FLAIR MR.
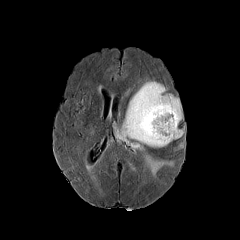
T1-weighted MR.
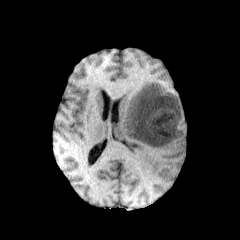
Post-contrast T1-weighted MR.
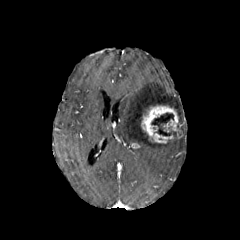
T2-weighted MR.
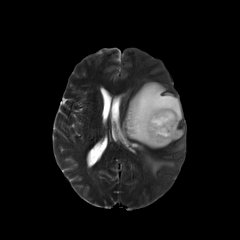
240x240 | Head
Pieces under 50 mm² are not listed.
{"necrotic_tumor_core": ["151, 113, 176, 136"], "peritumoral_edema": ["139, 145, 175, 177", "116, 81, 182, 148"], "enhancing_tumor": ["140, 104, 182, 143"]}